FLAIR MRI.
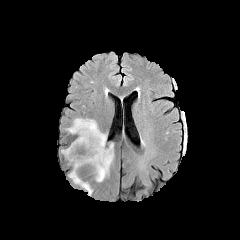
T1-weighted MR.
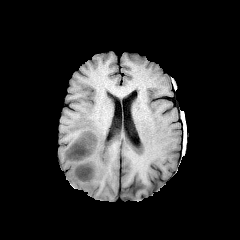
Post-contrast T1-weighted MR image.
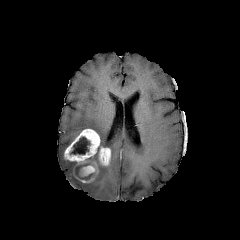
T2-weighted MRI.
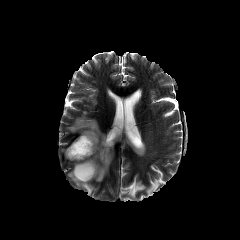
Image size 240x240
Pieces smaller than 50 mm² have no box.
2 enhancing tumor regions are bounded by box=[64, 129, 100, 182]; box=[99, 147, 110, 165]. The 2 largest peritumoral edema regions appear at box=[68, 162, 92, 195]; box=[67, 118, 113, 181]. The necrotic tumor core is located at box=[70, 137, 90, 154].